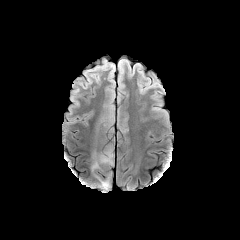
FLAIR MR.
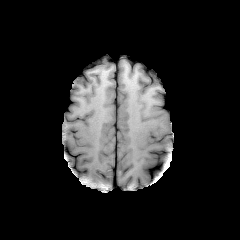
T1-weighted MR image.
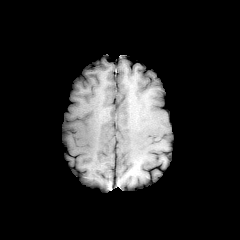
Post-contrast T1-weighted MR image.
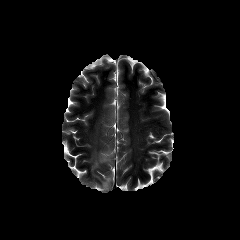
T2-weighted MR of the same slice.
240x240 px. Axial plane.
2 peritumoral edema regions appear at box=[92, 149, 112, 170]; box=[101, 180, 109, 187].